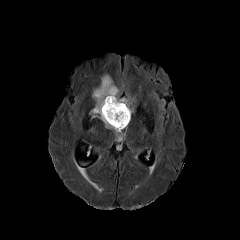
FLAIR magnetic resonance.
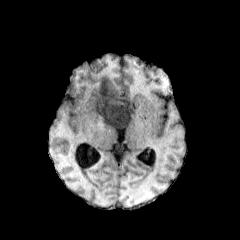
T1-weighted magnetic resonance of the same slice.
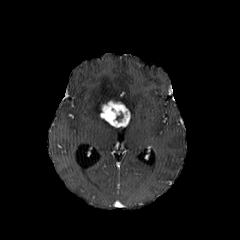
Same slice, post-contrast T1-weighted MR image.
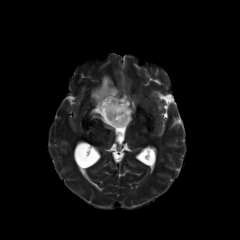
Same slice, T2-weighted magnetic resonance.
Axial plane.
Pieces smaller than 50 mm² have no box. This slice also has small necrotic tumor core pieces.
<segmentation>
  <enhancing_tumor>[100, 99, 130, 127]</enhancing_tumor>
  <peritumoral_edema>[90, 75, 133, 135]</peritumoral_edema>
</segmentation>